FLAIR MRI.
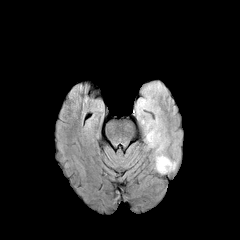
T1-weighted MRI.
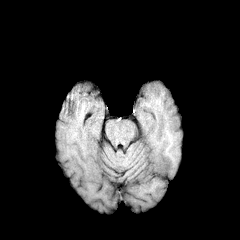
Post-contrast T1-weighted magnetic resonance.
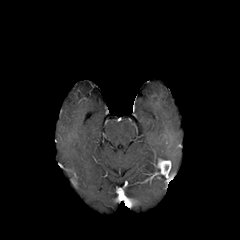
T2-weighted MRI.
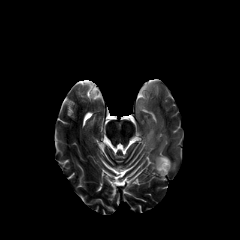
240x240 | Axial plane
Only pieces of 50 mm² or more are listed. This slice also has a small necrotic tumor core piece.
The largest peritumoral edema region appears at {"x1": 136, "y1": 81, "x2": 169, "y2": 173}. The enhancing tumor is located at {"x1": 156, "y1": 159, "x2": 171, "y2": 174}.